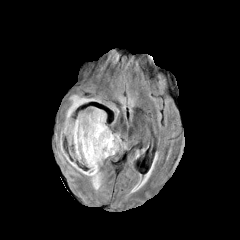
FLAIR MR.
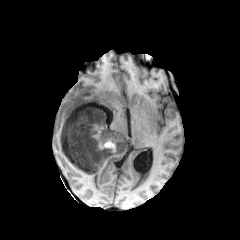
T1-weighted MRI of the same slice.
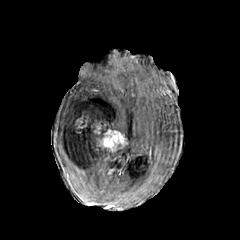
Post-contrast T1-weighted MR image.
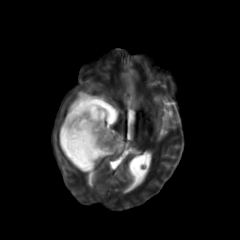
T2-weighted MR image.
Head, Axial view
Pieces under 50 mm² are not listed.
The largest necrotic tumor core region lies within (62, 118, 99, 167). The 3 largest enhancing tumor regions are located at (75, 116, 87, 128), (94, 123, 101, 134), (97, 129, 126, 151). The 2 largest peritumoral edema regions are bounded by (66, 145, 126, 189), (60, 93, 119, 149).